FLAIR MRI.
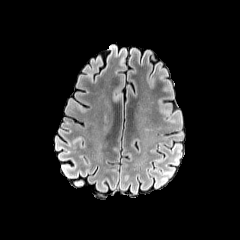
T1-weighted MR image.
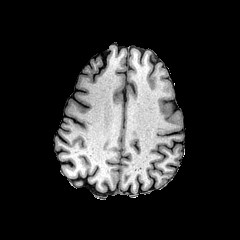
Post-contrast T1-weighted MR image.
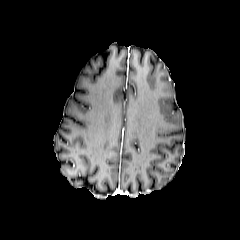
T2-weighted magnetic resonance.
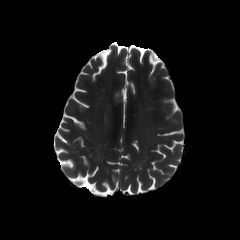
Axial view; Head
<segmentation>
  <peritumoral_edema>l=157, t=82, r=175, b=123</peritumoral_edema>
</segmentation>